Brain; 240x240 px; Axial view
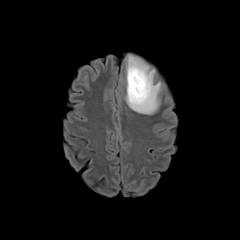
FLAIR MR image.
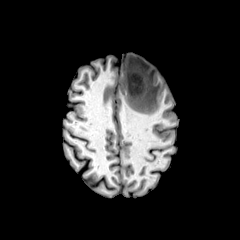
T1-weighted MRI.
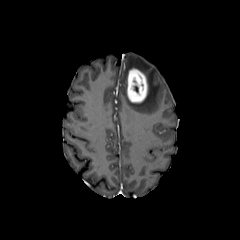
Post-contrast T1-weighted MR image of the same slice.
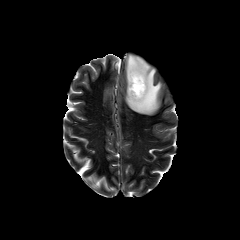
T2-weighted MR image.
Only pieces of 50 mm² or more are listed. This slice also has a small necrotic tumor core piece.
peritumoral edema — [125, 55, 161, 114]
enhancing tumor — [127, 68, 148, 102]